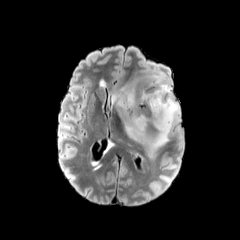
FLAIR magnetic resonance.
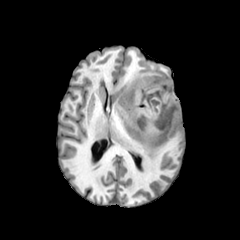
Same slice, T1-weighted MR.
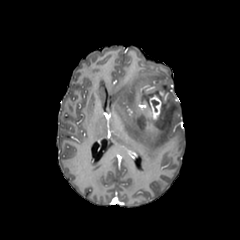
Post-contrast T1-weighted MRI.
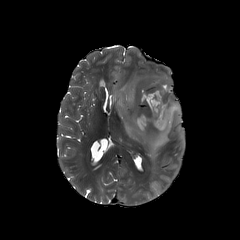
T2-weighted MR image.
Image size 240x240, Axial view, Brain
necrotic tumor core: l=152, t=100, r=158, b=111
peritumoral edema: l=111, t=69, r=180, b=157
enhancing tumor: l=149, t=91, r=166, b=122